Slice 128/155, Axial plane
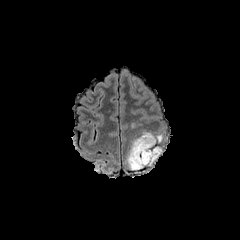
FLAIR MR image.
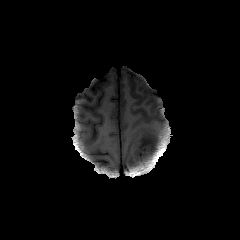
T1-weighted MRI.
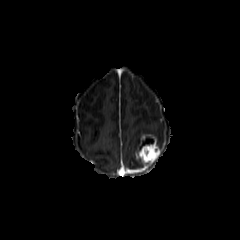
Post-contrast T1-weighted magnetic resonance.
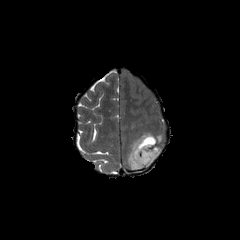
T2-weighted MR.
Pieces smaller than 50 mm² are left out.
The enhancing tumor is located at 135:134:162:167. The largest peritumoral edema region is at 127:131:164:170. The largest necrotic tumor core region is bounded by 140:137:153:148.